FLAIR MRI.
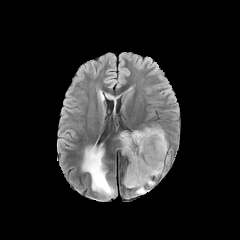
T1-weighted MR image.
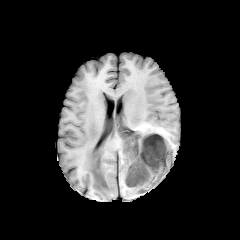
Post-contrast T1-weighted magnetic resonance.
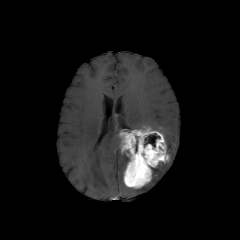
T2-weighted MR.
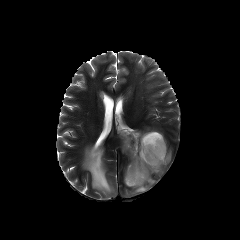
240x240. Brain.
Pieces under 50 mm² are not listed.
enhancing tumor: <bbox>119, 128, 170, 188</bbox> | peritumoral edema: <bbox>134, 179, 155, 194</bbox>, <bbox>114, 136, 121, 148</bbox>, <bbox>82, 145, 115, 198</bbox>, <bbox>152, 161, 169, 176</bbox>, <bbox>151, 127, 164, 137</bbox> | necrotic tumor core: <bbox>144, 134, 159, 146</bbox>